Brain. Image size 240x240. Image width 240 mm.
FLAIR MR.
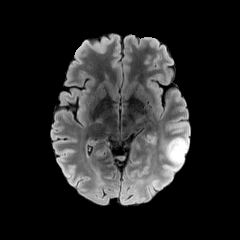
T1-weighted magnetic resonance.
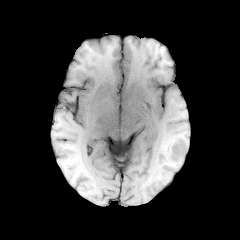
Post-contrast T1-weighted MRI.
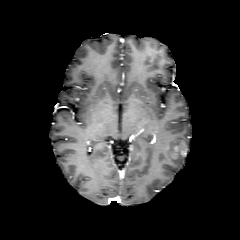
T2-weighted magnetic resonance.
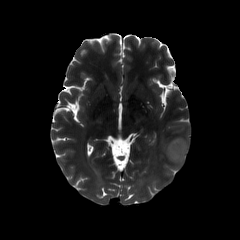
enhancing tumor — (171,139,187,159)
peritumoral edema — (163,132,189,177)